Slice index 102; Axial slice
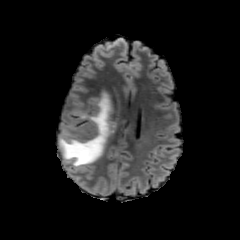
FLAIR magnetic resonance.
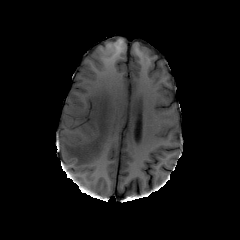
Same slice, T1-weighted MR image.
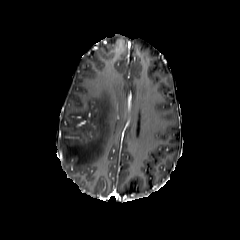
Post-contrast T1-weighted MR image.
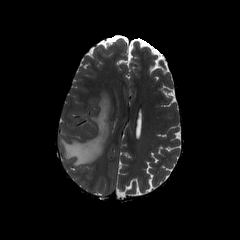
T2-weighted magnetic resonance.
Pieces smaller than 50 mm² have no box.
peritumoral edema: bounding box left=59, top=92, right=112, bottom=167